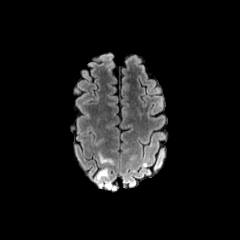
FLAIR MRI.
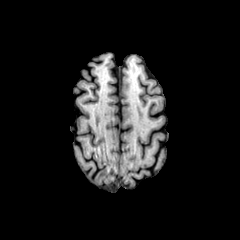
Same slice, T1-weighted MRI.
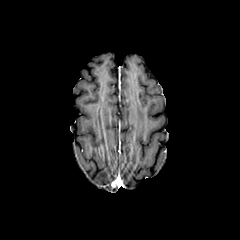
Post-contrast T1-weighted MR image.
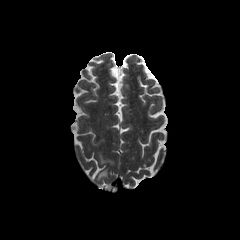
T2-weighted MRI.
Axial slice; 240x240 px
<segmentation>
  <peritumoral_edema>rect(99, 154, 112, 163); rect(96, 168, 108, 181)</peritumoral_edema>
</segmentation>